FLAIR MR image.
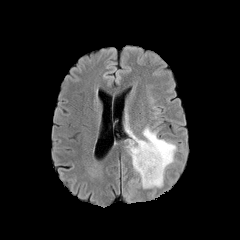
T1-weighted MRI.
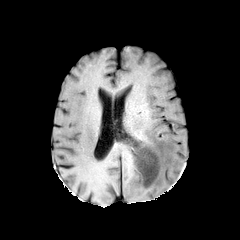
Post-contrast T1-weighted MR.
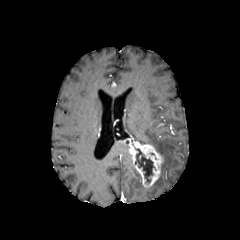
T2-weighted magnetic resonance.
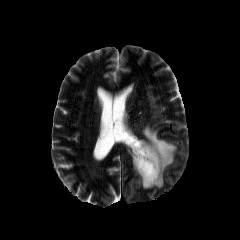
Axial slice.
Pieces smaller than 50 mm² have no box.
The largest enhancing tumor region is at [124,138,163,187]. The largest necrotic tumor core region is bounded by [135,149,154,182]. The largest peritumoral edema region is bounded by [125,113,176,188].